Slice 74/155, Axial view, Image width 240 mm, Brain
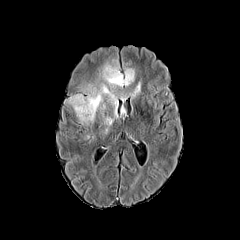
FLAIR MR.
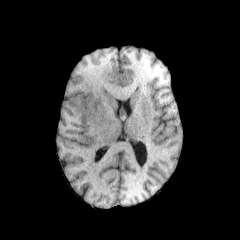
T1-weighted MRI.
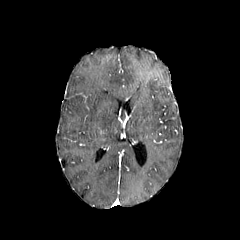
Post-contrast T1-weighted magnetic resonance.
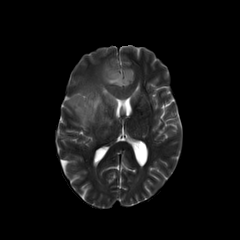
T2-weighted MR image.
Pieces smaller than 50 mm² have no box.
The 4 largest peritumoral edema regions are located at rect(70, 84, 116, 122); rect(105, 117, 112, 125); rect(102, 65, 134, 86); rect(131, 83, 140, 98).